FLAIR MR.
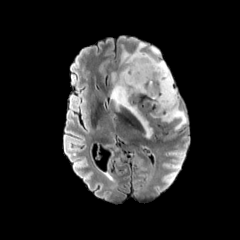
T1-weighted magnetic resonance.
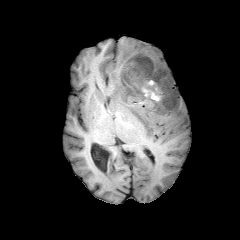
Post-contrast T1-weighted magnetic resonance.
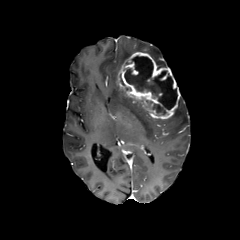
T2-weighted MRI.
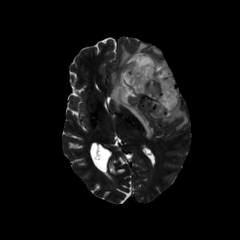
Axial plane | Head | 240x240
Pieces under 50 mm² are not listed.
peritumoral edema = x1=119 y1=42 x2=166 y2=69, x1=111 y1=72 x2=152 y2=138, x1=160 y1=97 x2=187 y2=130
enhancing tumor = x1=118 y1=51 x2=180 y2=119
necrotic tumor core = x1=124 y1=56 x2=177 y2=114